Image covers 240 mm x 240 mm. Axial plane. 240x240. Head.
FLAIR MR.
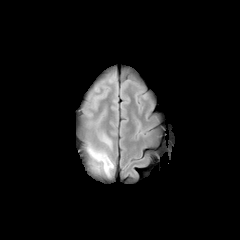
T1-weighted MR image.
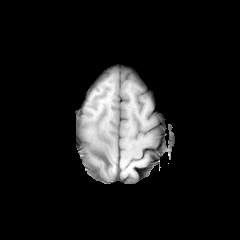
Post-contrast T1-weighted magnetic resonance.
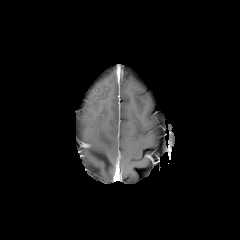
T2-weighted magnetic resonance.
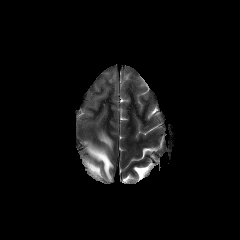
peritumoral edema: bounding box 100, 134, 112, 148; 87, 144, 113, 177; 91, 164, 100, 172